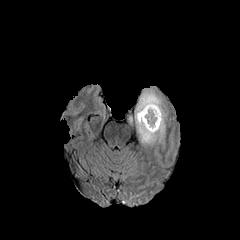
FLAIR MRI.
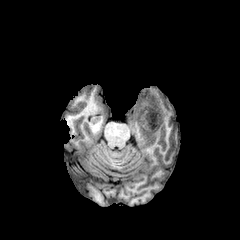
T1-weighted MRI.
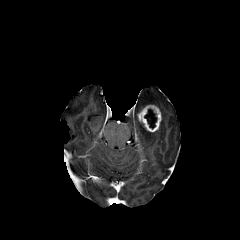
Post-contrast T1-weighted MR of the same slice.
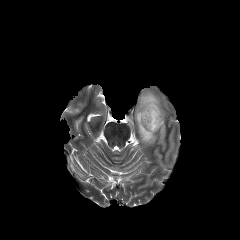
T2-weighted MRI.
Axial slice.
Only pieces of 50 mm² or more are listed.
The necrotic tumor core appears at box=[144, 108, 157, 128]. The largest peritumoral edema region is at box=[135, 90, 166, 144]. The enhancing tumor is bounded by box=[138, 105, 161, 131].